FLAIR MRI.
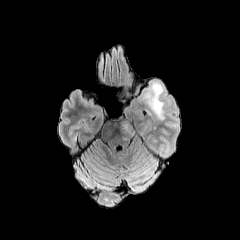
T1-weighted magnetic resonance.
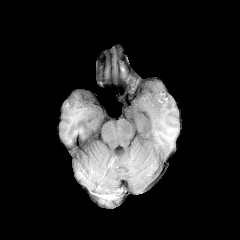
Post-contrast T1-weighted MR.
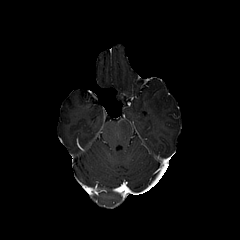
T2-weighted magnetic resonance.
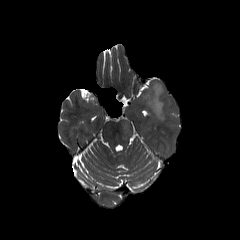
Head, Axial plane, 240x240
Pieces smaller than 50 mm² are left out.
<segmentation>
  <peritumoral_edema>(x1=146, y1=83, x2=164, y2=119), (x1=121, y1=119, x2=134, y2=135)</peritumoral_edema>
</segmentation>